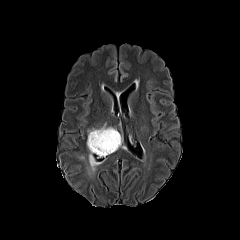
FLAIR magnetic resonance.
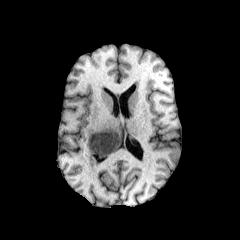
Same slice, T1-weighted magnetic resonance.
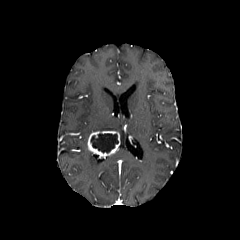
Post-contrast T1-weighted MRI of the same slice.
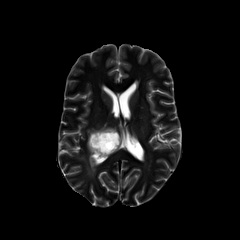
T2-weighted MR.
Axial slice
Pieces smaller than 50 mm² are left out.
peritumoral edema: x1=87, y1=123, x2=116, y2=136; x1=87, y1=152, x2=101, y2=175 | necrotic tumor core: x1=90, y1=133, x2=118, y2=153 | enhancing tumor: x1=87, y1=130, x2=120, y2=158